FLAIR magnetic resonance.
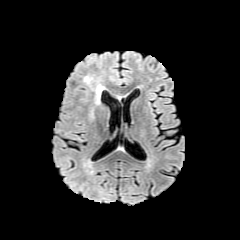
T1-weighted magnetic resonance.
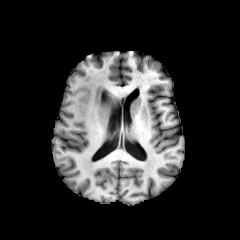
Post-contrast T1-weighted MRI.
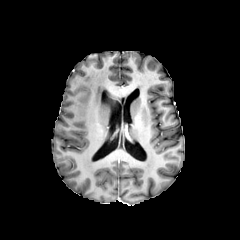
T2-weighted MRI.
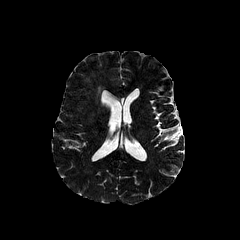
Head | Image size 240x240
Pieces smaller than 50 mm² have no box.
peritumoral edema: bbox=[95, 84, 104, 104]